Slice 90 of 155; Brain; 240x240 px; Axial view
FLAIR MRI.
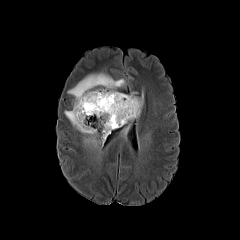
T1-weighted magnetic resonance.
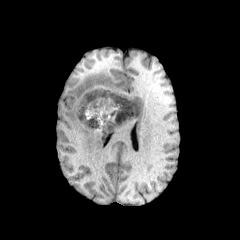
Post-contrast T1-weighted magnetic resonance.
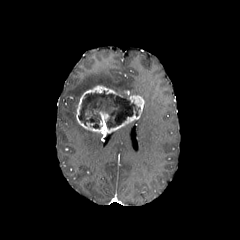
T2-weighted MRI.
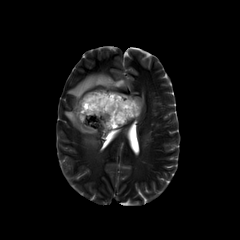
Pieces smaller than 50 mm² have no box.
necrotic tumor core: left=78, top=91, right=138, bottom=128
peritumoral edema: left=64, top=73, right=125, bottom=146
enhancing tumor: left=75, top=85, right=144, bottom=133